FLAIR MR image.
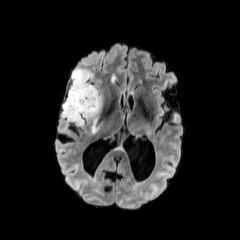
T1-weighted magnetic resonance.
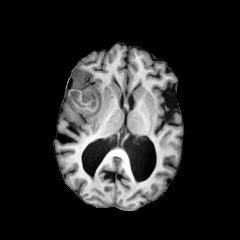
Post-contrast T1-weighted MR.
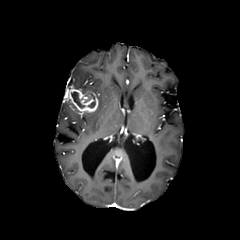
T2-weighted MRI.
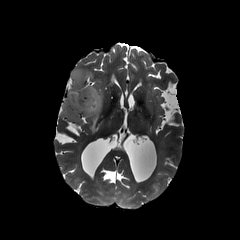
Axial plane
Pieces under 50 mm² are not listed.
necrotic_tumor_core:
  - region(71, 91, 84, 107)
peritumoral_edema:
  - region(62, 95, 101, 126)
  - region(92, 118, 97, 133)
  - region(71, 68, 98, 93)
enhancing_tumor:
  - region(65, 85, 99, 114)